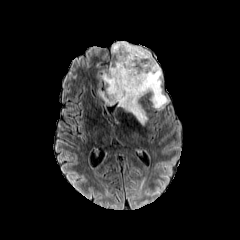
FLAIR magnetic resonance.
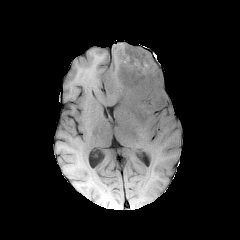
T1-weighted MR of the same slice.
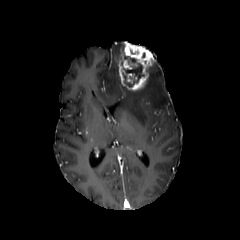
Post-contrast T1-weighted MRI.
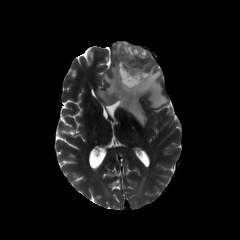
Same slice, T2-weighted magnetic resonance.
Axial slice | Brain | Image size 240x240
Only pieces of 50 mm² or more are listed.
The largest necrotic tumor core region is located at 125:63:143:81. The enhancing tumor appears at 118:41:154:91. The peritumoral edema is located at 98:41:168:124.